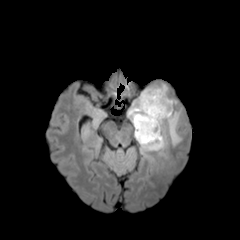
FLAIR MR image.
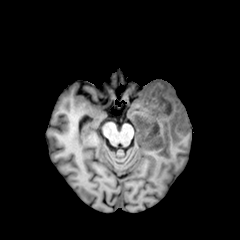
Same slice, T1-weighted MRI.
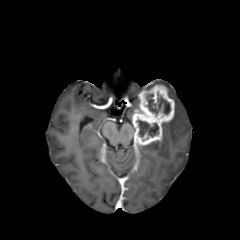
Same slice, post-contrast T1-weighted MR.
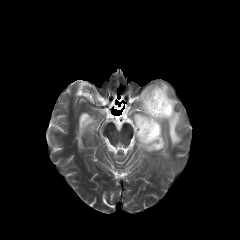
T2-weighted MR.
Brain; Axial view
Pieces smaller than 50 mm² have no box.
<segmentation>
  <enhancing_tumor>x1=132 y1=85 x2=174 y2=146</enhancing_tumor>
  <necrotic_tumor_core>x1=137 y1=120 x2=158 y2=136, x1=147 y1=94 x2=170 y2=114</necrotic_tumor_core>
  <peritumoral_edema>x1=138 y1=109 x2=181 y2=155, x1=144 y1=83 x2=169 y2=95, x1=127 y1=96 x2=139 y2=120</peritumoral_edema>
</segmentation>